Brain, 240x240 px
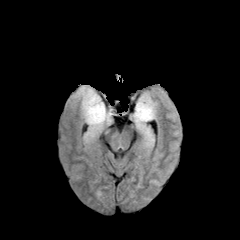
FLAIR MR image.
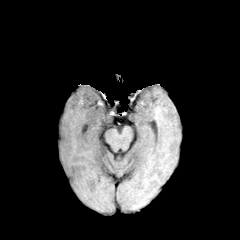
T1-weighted MR image.
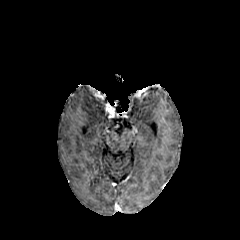
Post-contrast T1-weighted MRI.
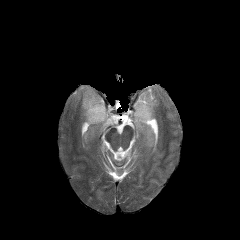
T2-weighted magnetic resonance.
<segmentation>
  <peritumoral_edema>left=133, top=95, right=156, bottom=144; left=74, top=86, right=111, bottom=141</peritumoral_edema>
</segmentation>